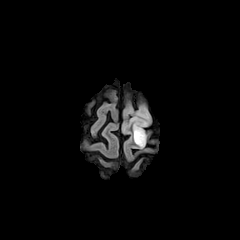
FLAIR magnetic resonance.
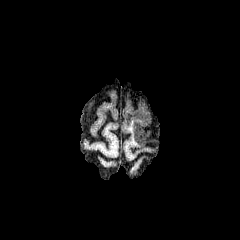
T1-weighted MR image of the same slice.
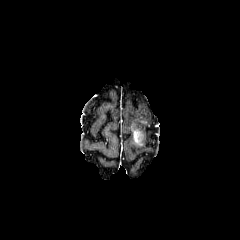
Post-contrast T1-weighted MRI of the same slice.
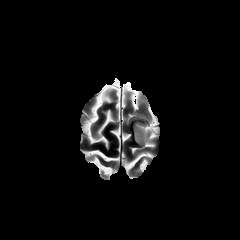
T2-weighted magnetic resonance.
Head
peritumoral edema — x1=129, y1=109, x2=150, y2=148
enhancing tumor — x1=134, y1=129, x2=143, y2=145